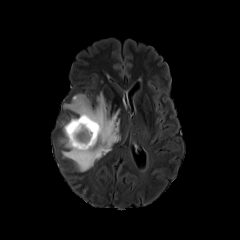
FLAIR MRI.
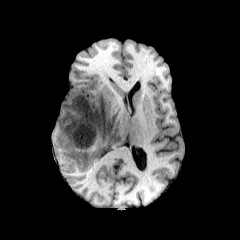
T1-weighted MR.
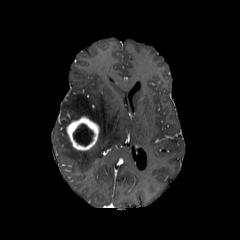
Post-contrast T1-weighted magnetic resonance of the same slice.
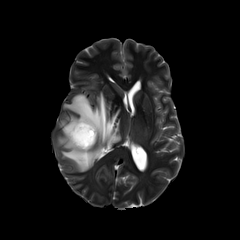
T2-weighted MR.
Head.
necrotic tumor core: {"x1": 73, "y1": 124, "x2": 93, "y2": 146} | enhancing tumor: {"x1": 66, "y1": 116, "x2": 99, "y2": 150} | peritumoral edema: {"x1": 60, "y1": 93, "x2": 120, "y2": 171}